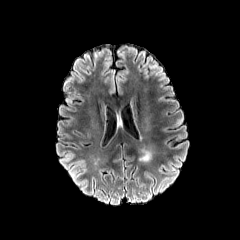
FLAIR MR image.
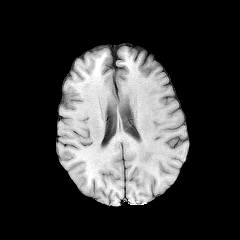
T1-weighted MRI of the same slice.
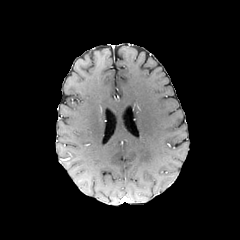
Post-contrast T1-weighted magnetic resonance.
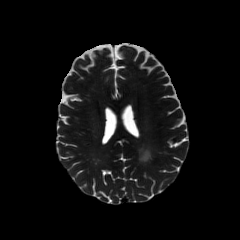
Same slice, T2-weighted magnetic resonance.
Image size 240x240, Axial plane, Head
<segmentation>
  <peritumoral_edema>box=[140, 149, 151, 161]</peritumoral_edema>
</segmentation>